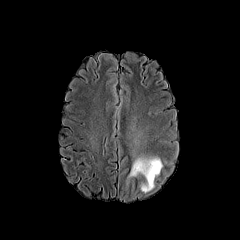
FLAIR MR image.
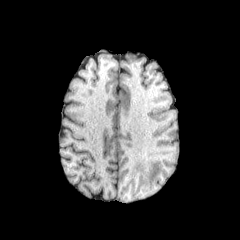
T1-weighted magnetic resonance.
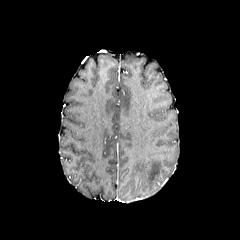
Same slice, post-contrast T1-weighted MRI.
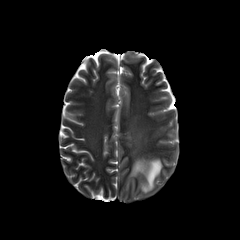
T2-weighted MR.
Head.
peritumoral edema = 129, 158, 162, 192